FLAIR MR.
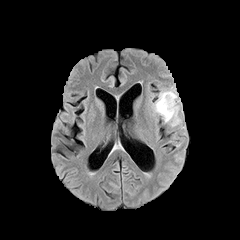
T1-weighted MRI.
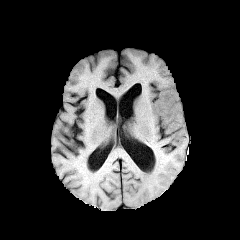
Post-contrast T1-weighted MR.
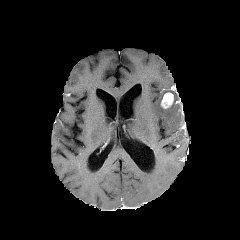
T2-weighted magnetic resonance.
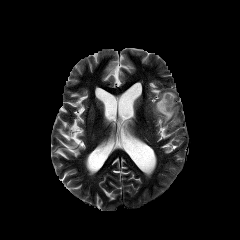
Brain
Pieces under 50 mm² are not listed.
{
  "enhancing_tumor": [
    "bbox=[160, 92, 173, 108]"
  ],
  "peritumoral_edema": [
    "bbox=[152, 89, 180, 126]"
  ]
}